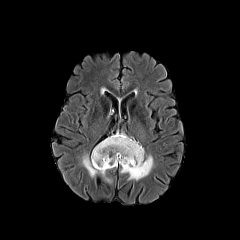
FLAIR MRI.
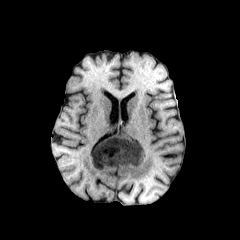
T1-weighted magnetic resonance.
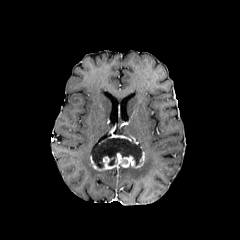
Post-contrast T1-weighted MR.
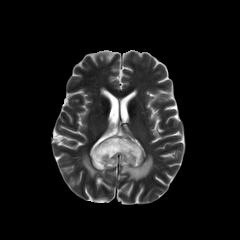
T2-weighted MR of the same slice.
Axial plane
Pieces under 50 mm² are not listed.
2 peritumoral edema regions are located at [x1=82, y1=154, x2=110, y2=182], [x1=120, y1=155, x2=153, y2=180]. The necrotic tumor core appears at [x1=92, y1=138, x2=141, y2=168]. The 2 largest enhancing tumor regions appear at [x1=108, y1=135, x2=138, y2=144], [x1=90, y1=149, x2=144, y2=170].